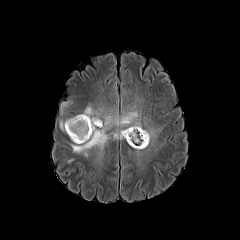
FLAIR magnetic resonance.
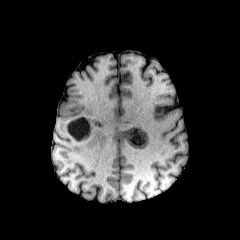
T1-weighted MR.
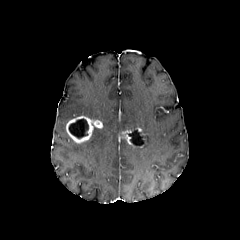
Post-contrast T1-weighted MR.
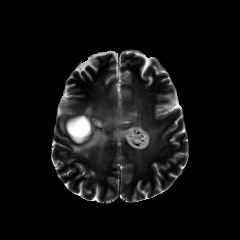
T2-weighted MRI.
Axial slice, Brain
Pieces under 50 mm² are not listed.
peritumoral edema: rect(71, 105, 141, 156); rect(135, 128, 159, 149); rect(60, 119, 69, 133) | enhancing tumor: rect(66, 115, 102, 143); rect(118, 127, 146, 147) | necrotic tumor core: rect(128, 129, 144, 145); rect(69, 119, 88, 138)